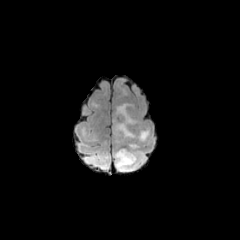
FLAIR magnetic resonance.
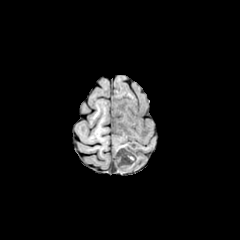
T1-weighted MR image.
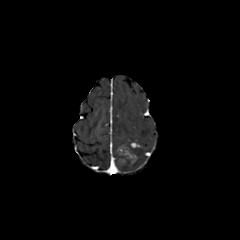
Post-contrast T1-weighted MRI.
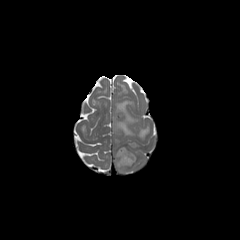
Same slice, T2-weighted MR.
Brain
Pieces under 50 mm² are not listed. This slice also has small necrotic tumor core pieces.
The largest enhancing tumor region lies within box=[117, 146, 136, 165]. The 2 largest peritumoral edema regions appear at box=[113, 143, 144, 171]; box=[113, 103, 149, 141].